Brain.
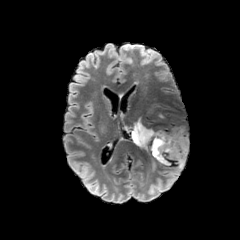
FLAIR MR image.
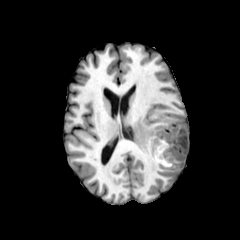
Same slice, T1-weighted MR image.
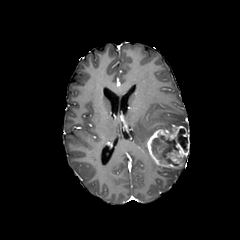
Post-contrast T1-weighted MRI.
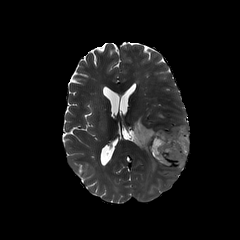
T2-weighted MR.
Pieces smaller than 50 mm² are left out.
Segmented structures:
* enhancing tumor: x1=146, y1=125, x2=189, y2=168
* peritumoral edema: x1=129, y1=118, x2=155, y2=152
* necrotic tumor core: x1=177, y1=128, x2=187, y2=151; x1=151, y1=135, x2=178, y2=165